Brain, Axial plane
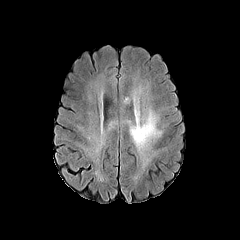
FLAIR magnetic resonance.
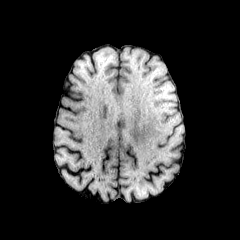
T1-weighted magnetic resonance of the same slice.
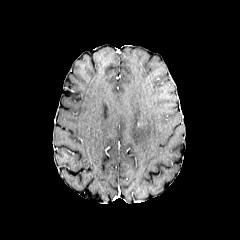
Post-contrast T1-weighted MRI.
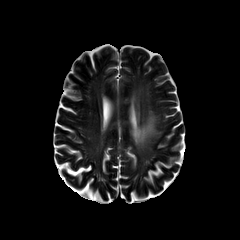
T2-weighted MRI.
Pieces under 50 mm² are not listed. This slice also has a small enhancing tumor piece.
peritumoral_edema:
  - <bbox>130, 95, 161, 150</bbox>